Slice 88 of 155, Brain
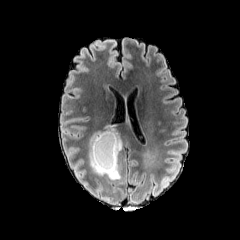
FLAIR MRI.
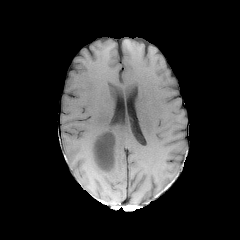
T1-weighted MR image.
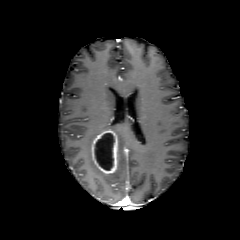
Post-contrast T1-weighted MRI.
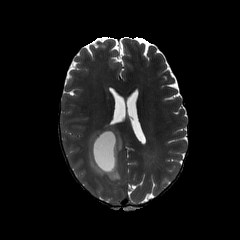
T2-weighted magnetic resonance of the same slice.
The enhancing tumor is located at (x1=91, y1=130, x2=117, y2=173). The peritumoral edema is bounded by (x1=89, y1=126, x2=122, y2=180). The necrotic tumor core lies within (x1=94, y1=133, x2=114, y2=170).